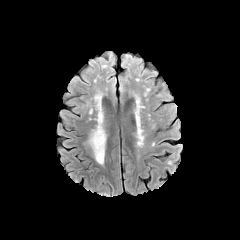
FLAIR MR image.
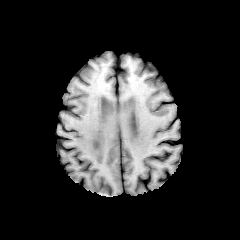
T1-weighted MRI.
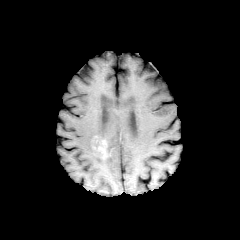
Post-contrast T1-weighted MRI.
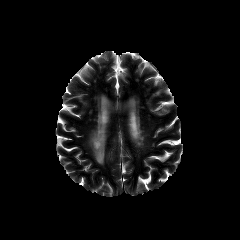
T2-weighted MR.
Brain. Image size 240x240.
The enhancing tumor is at 93,140,105,156. The peritumoral edema is bounded by 89,118,106,164.